Image width 240 mm, 1.00 mm slice spacing, Slice index 91
FLAIR MR.
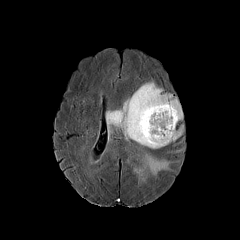
T1-weighted MR.
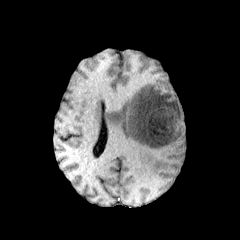
Post-contrast T1-weighted MRI.
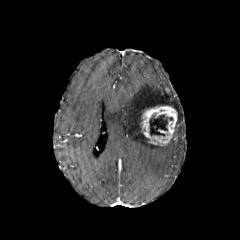
T2-weighted magnetic resonance.
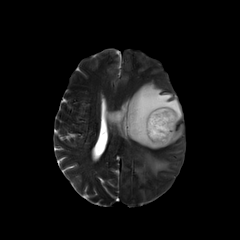
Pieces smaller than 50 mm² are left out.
necrotic_tumor_core:
  - (149,114,173,136)
enhancing_tumor:
  - (140,105,177,146)
peritumoral_edema:
  - (174,125,183,138)
  - (105,81,183,181)